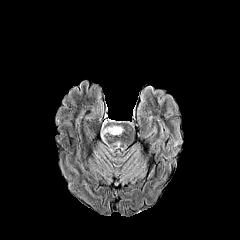
FLAIR MR image.
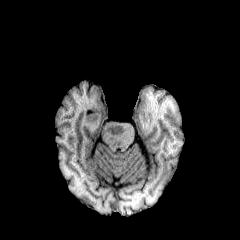
Same slice, T1-weighted MR image.
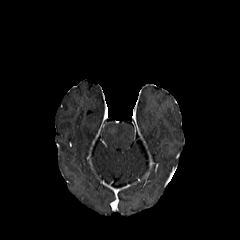
Post-contrast T1-weighted MR image.
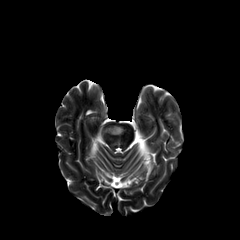
Same slice, T2-weighted MR.
Axial slice; 240x240
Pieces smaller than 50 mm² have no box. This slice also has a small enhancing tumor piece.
peritumoral edema: (102,125,123,137)